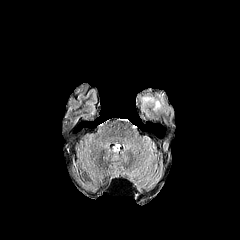
FLAIR MR image.
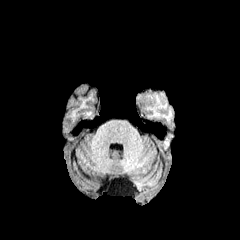
Same slice, T1-weighted magnetic resonance.
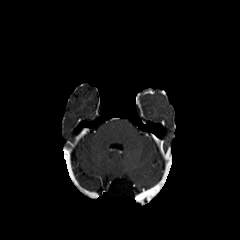
Post-contrast T1-weighted MR.
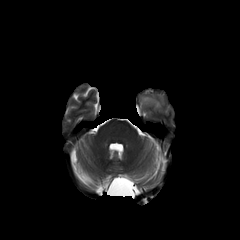
T2-weighted MR image.
Head; Axial slice
The peritumoral edema appears at l=141, t=96, r=163, b=110.